FLAIR MRI.
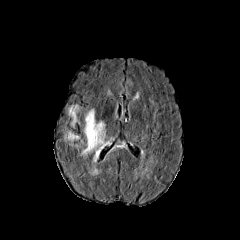
T1-weighted MRI.
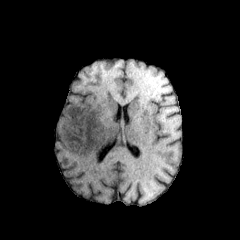
Post-contrast T1-weighted MR.
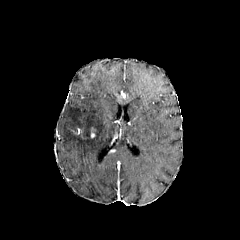
T2-weighted MR image.
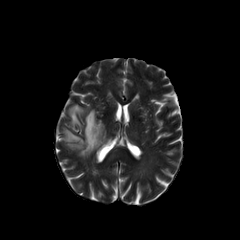
Head; Image size 240x240
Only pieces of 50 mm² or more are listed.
enhancing tumor = <bbox>110, 131, 117, 144</bbox>
peritumoral edema = <bbox>68, 104, 80, 127</bbox>, <bbox>112, 140, 125, 148</bbox>, <bbox>81, 109, 112, 174</bbox>, <bbox>64, 130, 83, 149</bbox>